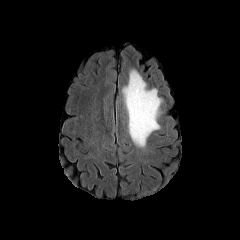
FLAIR MR image.
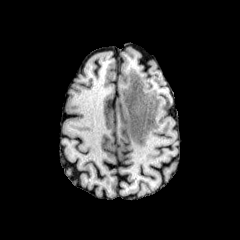
T1-weighted MR image.
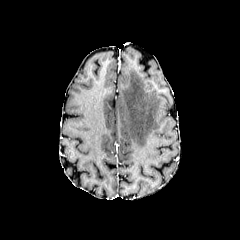
Same slice, post-contrast T1-weighted MRI.
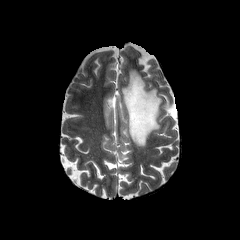
Same slice, T2-weighted MR.
240x240, Axial view, Head
peritumoral edema at [122, 69, 162, 147]